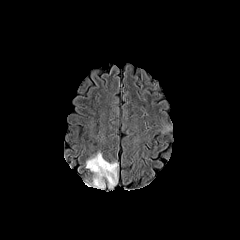
FLAIR MR.
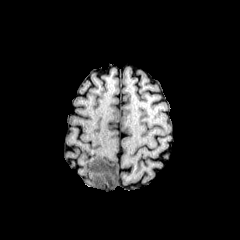
T1-weighted MR image.
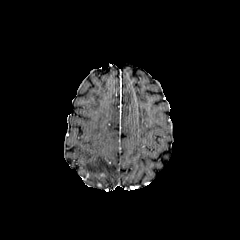
Same slice, post-contrast T1-weighted MR image.
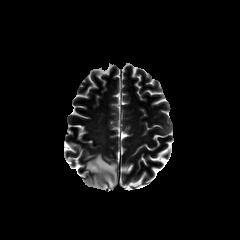
Same slice, T2-weighted MR.
Brain. 240x240.
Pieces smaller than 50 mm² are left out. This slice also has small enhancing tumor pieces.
Annotated regions:
• peritumoral edema: box=[86, 153, 117, 188]